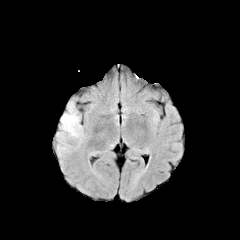
FLAIR MR.
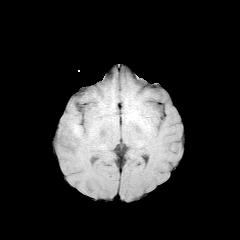
T1-weighted MR.
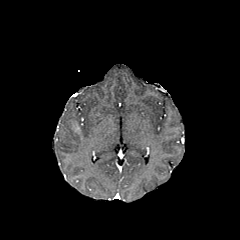
Post-contrast T1-weighted MR image.
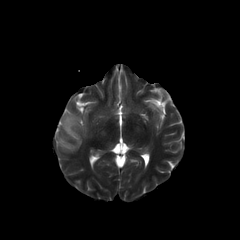
Same slice, T2-weighted magnetic resonance.
Brain.
The peritumoral edema is bounded by {"x1": 57, "y1": 100, "x2": 84, "y2": 155}. The enhancing tumor lies within {"x1": 72, "y1": 123, "x2": 79, "y2": 131}.